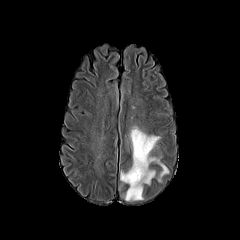
FLAIR MRI.
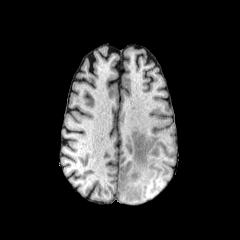
T1-weighted MR image.
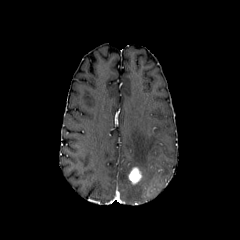
Same slice, post-contrast T1-weighted magnetic resonance.
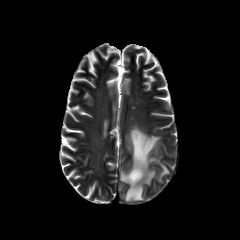
T2-weighted MRI.
Brain, Axial plane
<segmentation>
  <enhancing_tumor>region(128, 167, 142, 184)</enhancing_tumor>
  <peritumoral_edema>region(120, 126, 168, 201)</peritumoral_edema>
</segmentation>